Slice 100/155 | Image size 240x240 | Axial slice | Brain
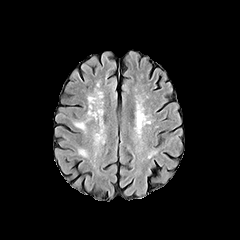
FLAIR magnetic resonance.
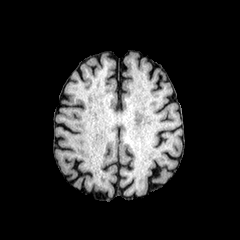
T1-weighted MRI of the same slice.
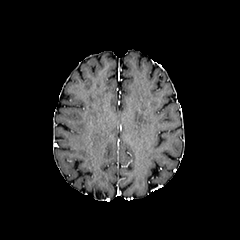
Post-contrast T1-weighted magnetic resonance.
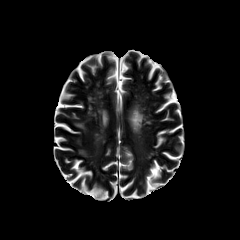
Same slice, T2-weighted MRI.
The peritumoral edema is at {"x1": 72, "y1": 122, "x2": 85, "y2": 130}.